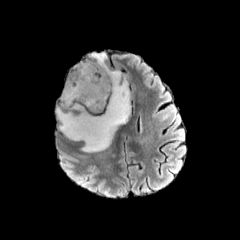
FLAIR MR image.
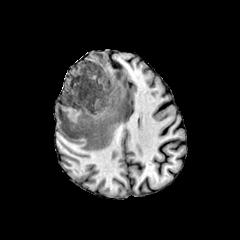
T1-weighted MR image.
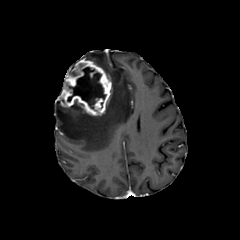
Same slice, post-contrast T1-weighted MR.
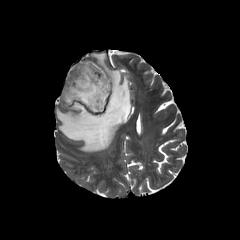
Same slice, T2-weighted MR.
Axial view; Head
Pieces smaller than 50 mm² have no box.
peritumoral edema — <box>56,53,130,152</box>
enhancing tumor — <box>59,59,111,115</box>
necrotic tumor core — <box>67,67,105,109</box>